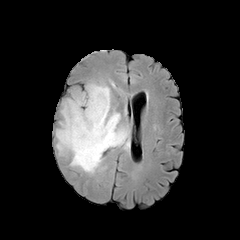
FLAIR MR image.
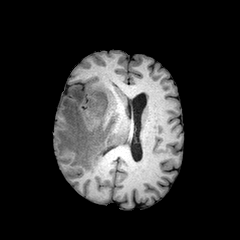
T1-weighted MR image.
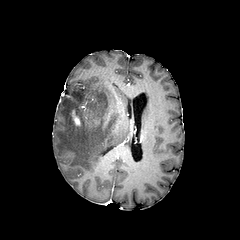
Post-contrast T1-weighted MR.
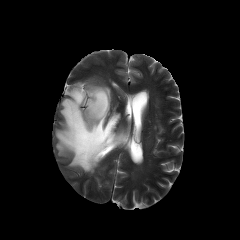
Same slice, T2-weighted MR.
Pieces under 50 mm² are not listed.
The largest peritumoral edema region is bounded by 56:82:129:173. The enhancing tumor is at 72:111:79:125.